Slice index 95; Axial slice; Brain; 240x240 px
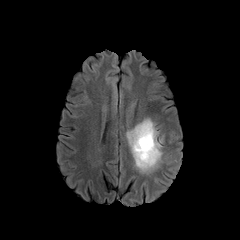
FLAIR magnetic resonance.
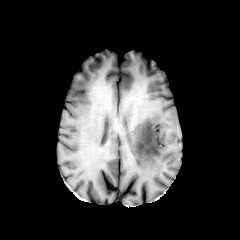
Same slice, T1-weighted MR image.
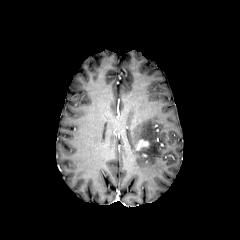
Post-contrast T1-weighted MR image.
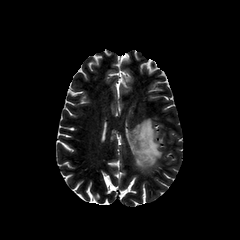
Same slice, T2-weighted MR image.
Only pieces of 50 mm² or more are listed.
The largest enhancing tumor region is at 136 139 149 150. The largest peritumoral edema region is at 127 118 162 172.